Axial slice
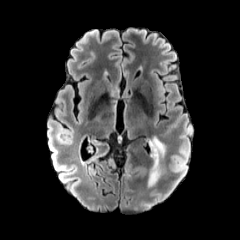
FLAIR magnetic resonance.
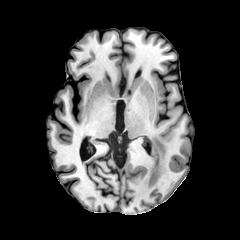
T1-weighted magnetic resonance of the same slice.
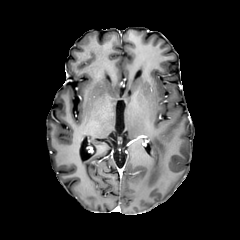
Post-contrast T1-weighted magnetic resonance.
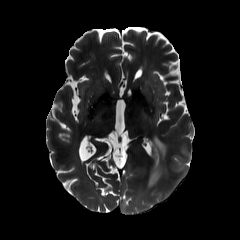
Same slice, T2-weighted MRI.
peritumoral edema: region(148, 137, 165, 186)